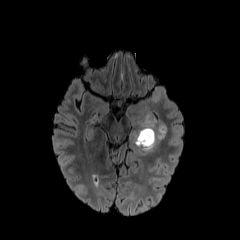
FLAIR MR.
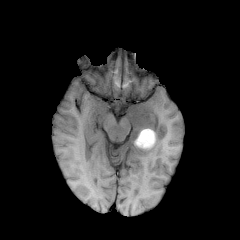
T1-weighted MR.
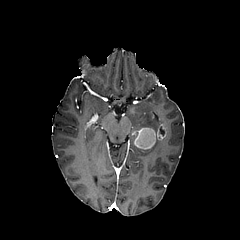
Post-contrast T1-weighted MR image of the same slice.
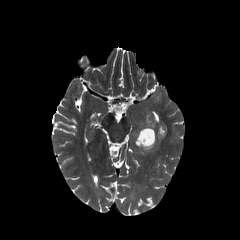
T2-weighted MRI of the same slice.
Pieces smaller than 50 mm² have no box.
enhancing tumor: <box>132,124,166,149</box>
necrotic tumor core: <box>137,129,153,147</box>
peritumoral edema: <box>141,140,159,151</box>, <box>139,114,154,129</box>